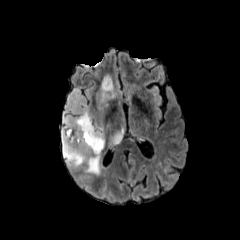
FLAIR MRI.
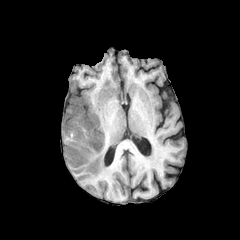
Same slice, T1-weighted MRI.
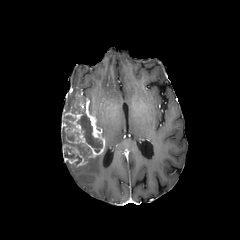
Same slice, post-contrast T1-weighted magnetic resonance.
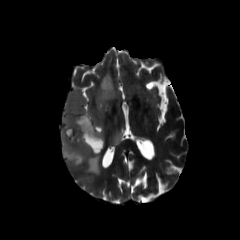
Same slice, T2-weighted MR.
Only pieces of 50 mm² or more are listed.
necrotic tumor core — (77, 107, 102, 152)
peritumoral edema — (83, 72, 117, 122), (107, 123, 125, 149), (64, 88, 80, 108), (83, 148, 106, 176)
enhancing tumor — (61, 94, 105, 167)